Image size 240x240 | Slice index 63 | Axial view
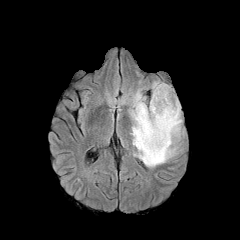
FLAIR MRI.
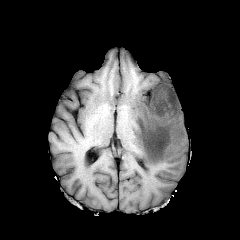
T1-weighted MRI.
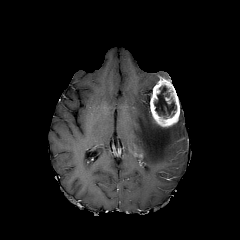
Post-contrast T1-weighted MR image.
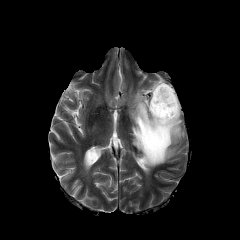
Same slice, T2-weighted MR.
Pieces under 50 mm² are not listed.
necrotic tumor core — [154, 86, 176, 116]
peritumoral edema — [129, 89, 183, 167]
enhancing tumor — [150, 77, 180, 127]